Slice index 76
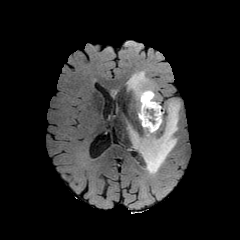
FLAIR MR.
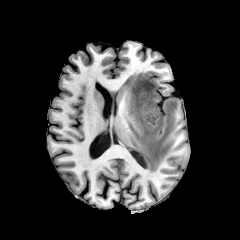
Same slice, T1-weighted MR.
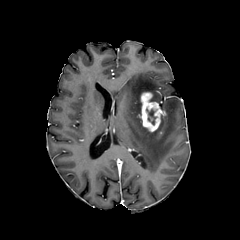
Post-contrast T1-weighted MRI of the same slice.
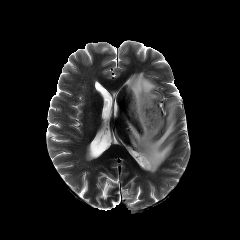
T2-weighted MR image.
{
  "necrotic_tumor_core": [
    "bbox=[146, 109, 156, 124]"
  ],
  "enhancing_tumor": [
    "bbox=[139, 92, 162, 131]"
  ],
  "peritumoral_edema": [
    "bbox=[126, 71, 158, 124]",
    "bbox=[127, 98, 179, 173]"
  ]
}